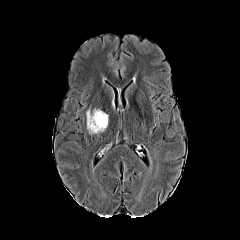
FLAIR magnetic resonance.
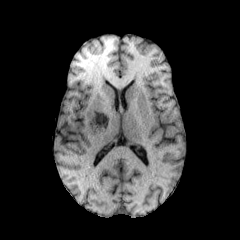
Same slice, T1-weighted MRI.
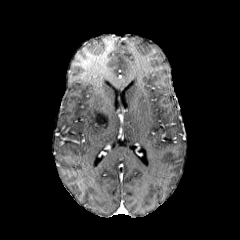
Same slice, post-contrast T1-weighted MR image.
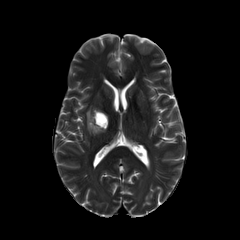
T2-weighted magnetic resonance.
240x240
The peritumoral edema appears at (86,109,108,133).